Head
FLAIR MR.
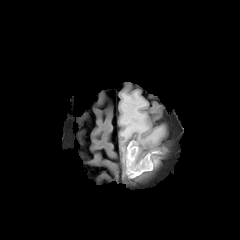
T1-weighted MR image.
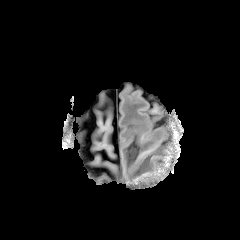
Post-contrast T1-weighted magnetic resonance.
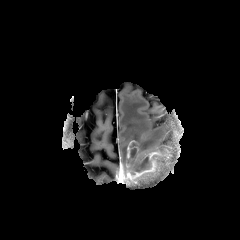
T2-weighted MR.
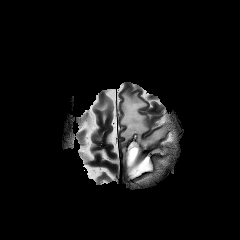
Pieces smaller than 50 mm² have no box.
peritumoral edema: bbox(120, 92, 163, 146); bbox(122, 147, 126, 165) | necrotic tumor core: bbox(127, 148, 149, 171) | enhancing tumor: bbox(126, 140, 161, 179)